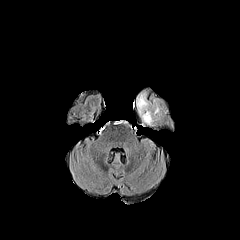
FLAIR MR.
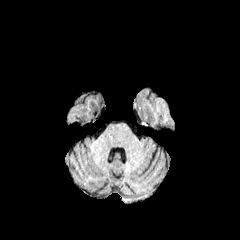
T1-weighted magnetic resonance.
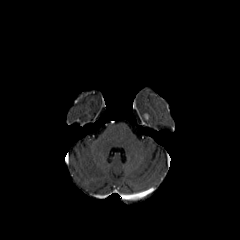
Post-contrast T1-weighted magnetic resonance.
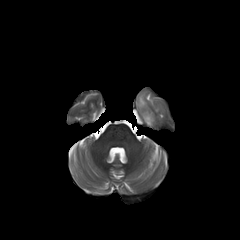
T2-weighted MR image.
Head. Axial plane.
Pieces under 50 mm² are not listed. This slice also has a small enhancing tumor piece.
The peritumoral edema appears at 136 91 159 125.